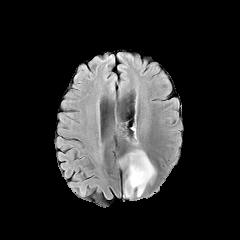
FLAIR magnetic resonance.
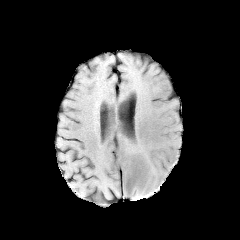
T1-weighted MRI.
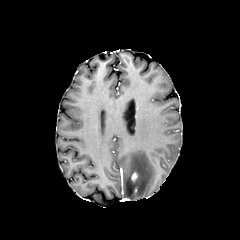
Post-contrast T1-weighted MR.
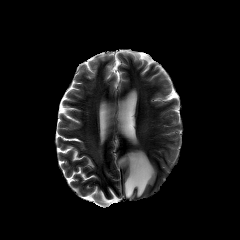
T2-weighted magnetic resonance.
Image size 240x240; Head
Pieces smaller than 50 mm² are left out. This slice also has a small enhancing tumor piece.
The largest peritumoral edema region is bounded by rect(118, 149, 155, 198).